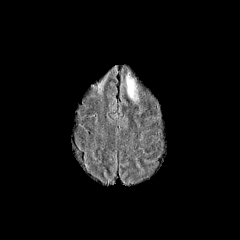
FLAIR magnetic resonance.
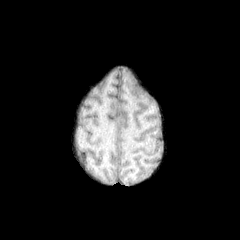
Same slice, T1-weighted MR.
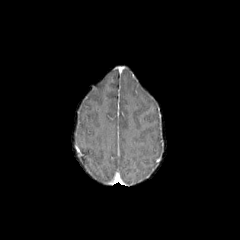
Same slice, post-contrast T1-weighted MR.
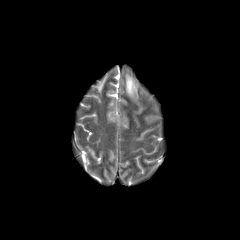
T2-weighted magnetic resonance.
Axial plane; Image size 240x240
Annotated regions:
- peritumoral edema: (x1=126, y1=71, x2=137, y2=101)